FLAIR MR image.
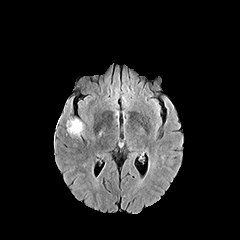
T1-weighted MR image.
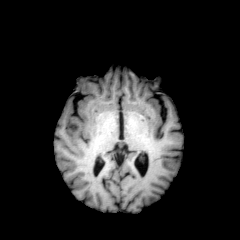
Post-contrast T1-weighted magnetic resonance.
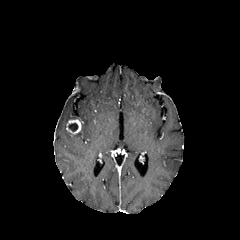
T2-weighted MR image.
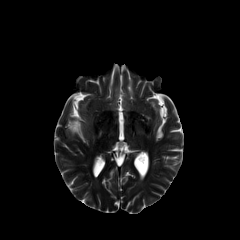
Axial slice | Brain
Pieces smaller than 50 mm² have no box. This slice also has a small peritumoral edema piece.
The necrotic tumor core is bounded by {"x1": 68, "y1": 123, "x2": 77, "y2": 131}. The enhancing tumor is at {"x1": 66, "y1": 119, "x2": 81, "y2": 135}.